240x240 px; Slice 66 of 155; Brain
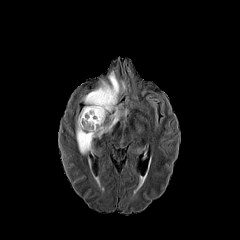
FLAIR MR image.
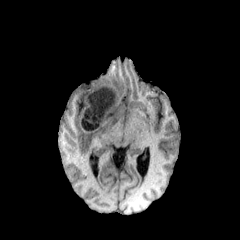
T1-weighted magnetic resonance of the same slice.
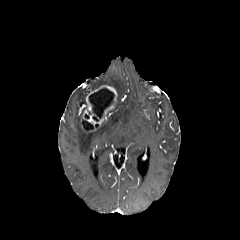
Same slice, post-contrast T1-weighted MR image.
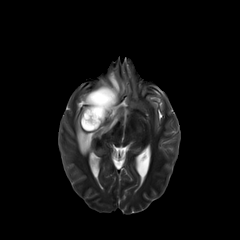
T2-weighted MRI.
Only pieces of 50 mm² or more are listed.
Segmented structures:
• necrotic tumor core: box=[88, 88, 114, 121]; box=[82, 119, 93, 130]
• peritumoral edema: box=[97, 71, 126, 101]; box=[76, 103, 127, 154]
• enhancing tumor: box=[82, 85, 117, 131]